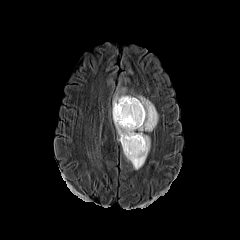
FLAIR MR image.
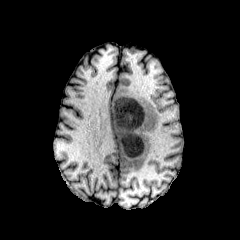
T1-weighted MRI.
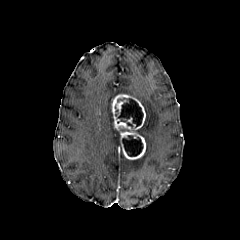
Same slice, post-contrast T1-weighted MR image.
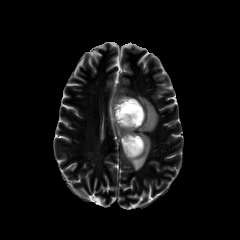
Same slice, T2-weighted MRI.
Brain
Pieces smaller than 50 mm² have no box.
<segmentation>
  <peritumoral_edema>(x1=116, y1=88, x2=126, y2=95), (x1=127, y1=95, x2=158, y2=169)</peritumoral_edema>
  <necrotic_tumor_core>(x1=117, y1=98, x2=143, y2=126), (x1=122, y1=135, x2=143, y2=156)</necrotic_tumor_core>
  <enhancing_tumor>(x1=111, y1=94, x2=145, y2=159)</enhancing_tumor>
</segmentation>